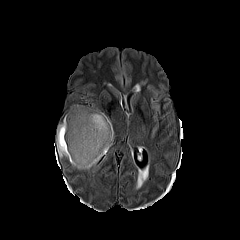
FLAIR MR.
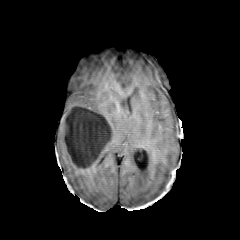
Same slice, T1-weighted MR.
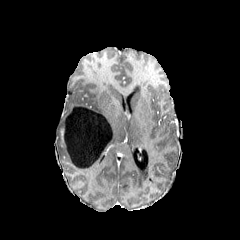
Post-contrast T1-weighted MR image of the same slice.
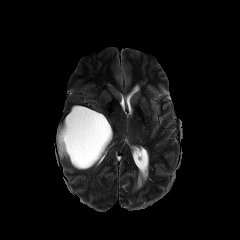
T2-weighted magnetic resonance.
Axial plane
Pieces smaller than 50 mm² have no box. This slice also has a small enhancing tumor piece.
<segmentation>
  <peritumoral_edema>[x1=86, y1=107, x2=114, y2=150], [x1=56, y1=114, x2=102, y2=169]</peritumoral_edema>
  <necrotic_tumor_core>[x1=64, y1=106, x2=112, y2=167]</necrotic_tumor_core>
</segmentation>